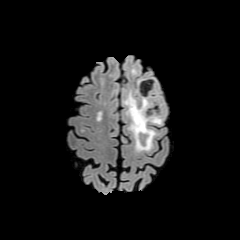
FLAIR magnetic resonance.
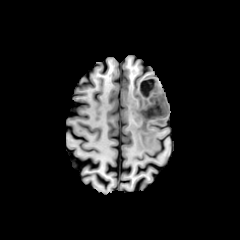
T1-weighted magnetic resonance.
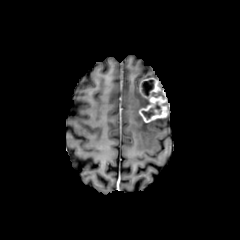
Post-contrast T1-weighted MR.
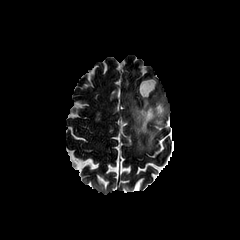
T2-weighted MRI of the same slice.
Axial slice, 240x240 px
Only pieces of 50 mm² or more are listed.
necrotic_tumor_core:
  - [x1=143, y1=105, x2=161, y2=118]
  - [x1=143, y1=80, x2=154, y2=94]
enhancing_tumor:
  - [x1=139, y1=78, x2=168, y2=122]
peritumoral_edema:
  - [x1=150, y1=118, x2=164, y2=125]
  - [x1=124, y1=89, x2=157, y2=151]